FLAIR MR.
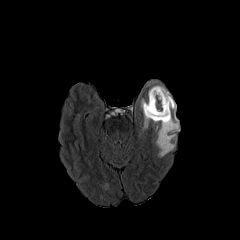
T1-weighted MRI.
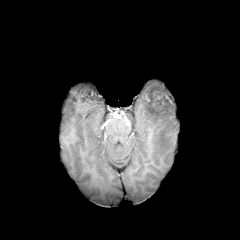
Post-contrast T1-weighted MR.
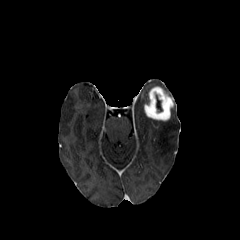
T2-weighted magnetic resonance.
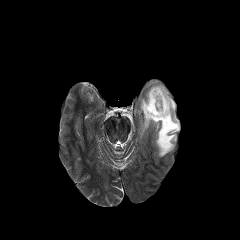
240x240 px
{"necrotic_tumor_core": ["<bbox>156, 95, 162, 111</bbox>"], "enhancing_tumor": ["<bbox>144, 86, 174, 121</bbox>"], "peritumoral_edema": ["<bbox>147, 81, 167, 91</bbox>", "<bbox>140, 96, 179, 157</bbox>"]}